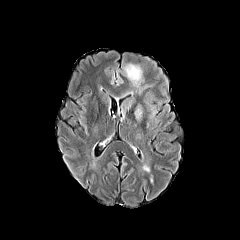
FLAIR MR image.
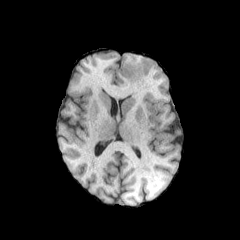
T1-weighted MRI of the same slice.
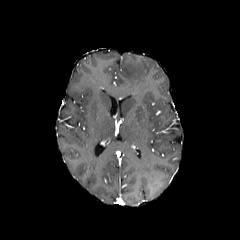
Post-contrast T1-weighted MR image.
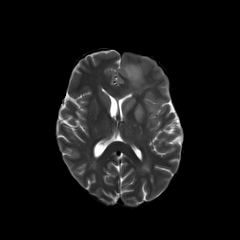
Same slice, T2-weighted MR image.
peritumoral_edema:
  - left=123, top=63, right=142, bottom=86
  - left=134, top=103, right=143, bottom=122
  - left=121, top=97, right=135, bottom=118